FLAIR MRI.
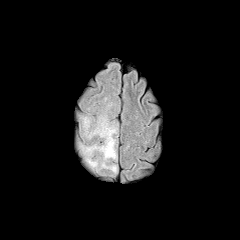
T1-weighted MR image.
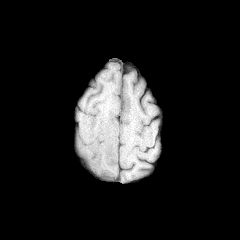
Post-contrast T1-weighted MR image.
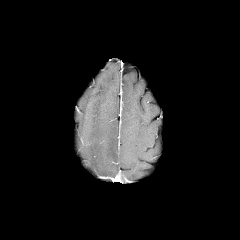
T2-weighted MR.
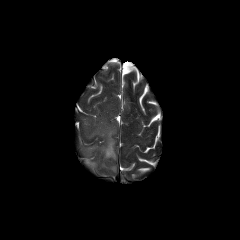
Head.
peritumoral edema — bbox(80, 115, 117, 173)